FLAIR MR image.
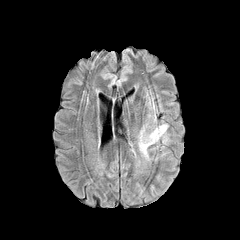
T1-weighted MRI.
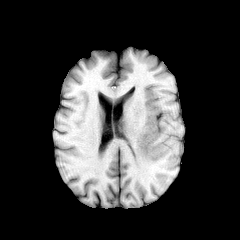
Post-contrast T1-weighted MRI.
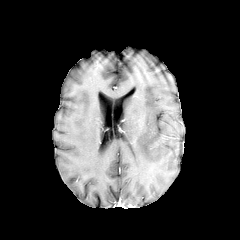
T2-weighted magnetic resonance.
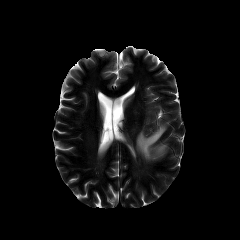
Brain.
Findings:
* peritumoral edema: bbox=[138, 124, 167, 158]